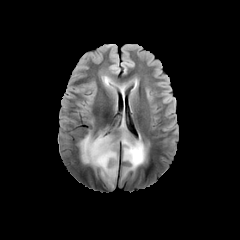
FLAIR MR image.
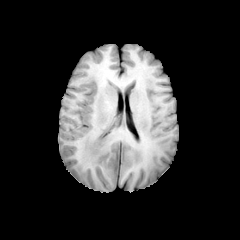
T1-weighted magnetic resonance of the same slice.
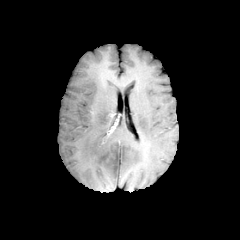
Post-contrast T1-weighted MR.
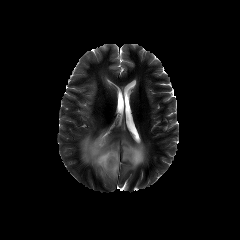
T2-weighted MRI of the same slice.
Head
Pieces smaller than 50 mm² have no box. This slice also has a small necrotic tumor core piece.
The 2 largest peritumoral edema regions appear at 121, 133, 146, 174; 80, 132, 118, 180.